FLAIR MR.
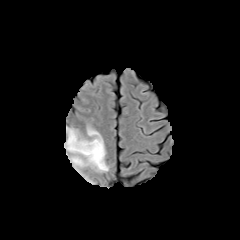
T1-weighted magnetic resonance.
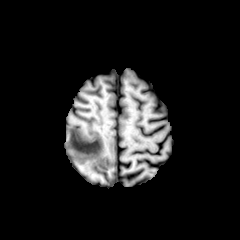
Post-contrast T1-weighted magnetic resonance.
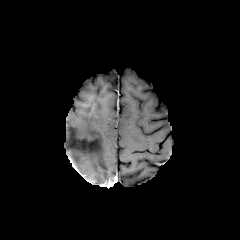
T2-weighted MRI.
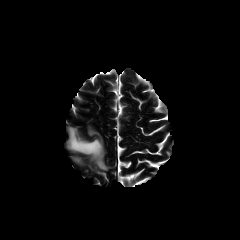
Axial plane.
peritumoral edema: (x1=65, y1=126, x2=108, y2=171)